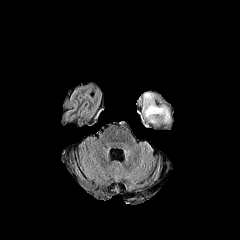
FLAIR MR image.
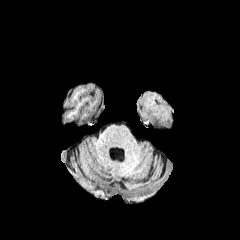
T1-weighted magnetic resonance.
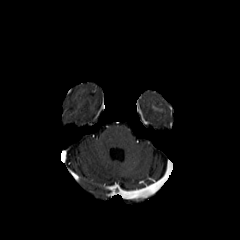
Same slice, post-contrast T1-weighted MR image.
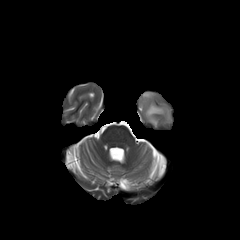
T2-weighted MR image.
Brain
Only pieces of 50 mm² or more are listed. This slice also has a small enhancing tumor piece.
The peritumoral edema appears at 142 93 170 123.